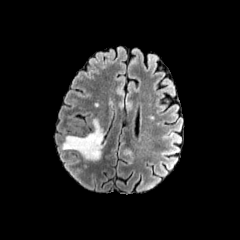
FLAIR magnetic resonance.
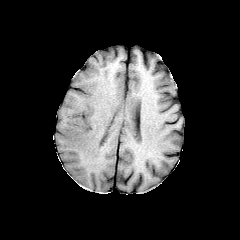
T1-weighted magnetic resonance of the same slice.
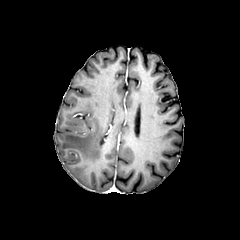
Post-contrast T1-weighted magnetic resonance of the same slice.
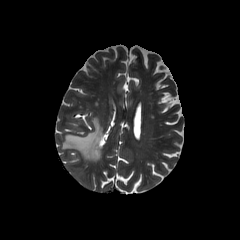
Same slice, T2-weighted MR image.
Findings:
- peritumoral edema: box=[62, 119, 103, 161]